FLAIR magnetic resonance.
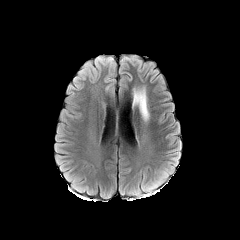
T1-weighted MR.
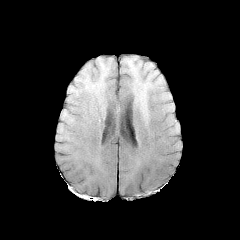
Post-contrast T1-weighted MRI.
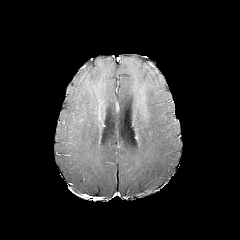
T2-weighted MR image.
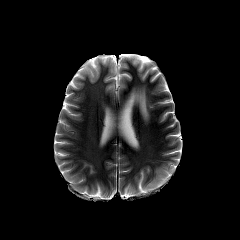
240x240; Axial plane
peritumoral_edema:
  - [133,89,148,120]